FLAIR MRI.
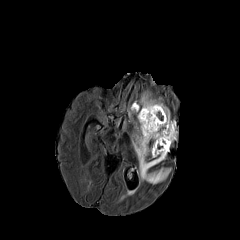
T1-weighted MRI.
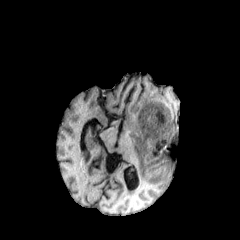
Post-contrast T1-weighted magnetic resonance.
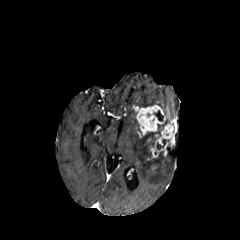
T2-weighted MR.
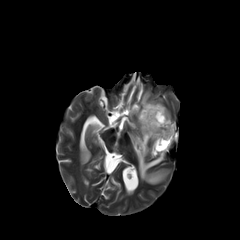
Head
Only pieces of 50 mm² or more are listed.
enhancing_tumor:
  - [x1=132, y1=104, x2=176, y2=157]
peritumoral_edema:
  - [x1=132, y1=92, x2=166, y2=108]
  - [x1=132, y1=119, x2=170, y2=184]
necrotic_tumor_core:
  - [x1=157, y1=139, x2=165, y2=149]
  - [x1=154, y1=110, x2=163, y2=121]